FLAIR magnetic resonance.
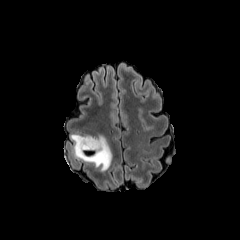
T1-weighted MRI.
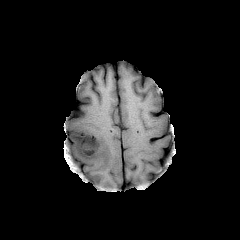
Post-contrast T1-weighted magnetic resonance.
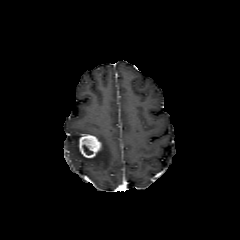
T2-weighted MR image.
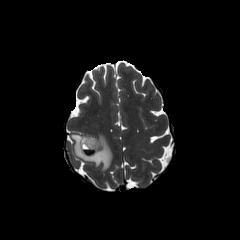
Brain
The enhancing tumor is bounded by left=78, top=135, right=101, bottom=158. The necrotic tumor core appears at left=82, top=145, right=93, bottom=154. The peritumoral edema is located at left=71, top=133, right=112, bottom=171.